FLAIR MR.
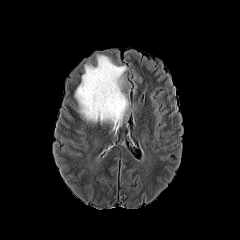
T1-weighted MRI.
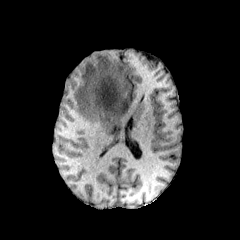
Post-contrast T1-weighted magnetic resonance.
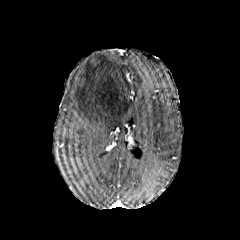
T2-weighted MRI.
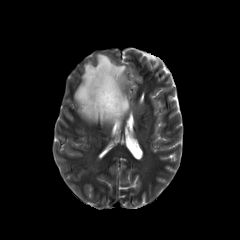
Axial plane
{
  "peritumoral_edema": [
    "box=[74, 54, 128, 127]"
  ]
}